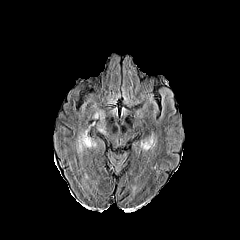
FLAIR MR.
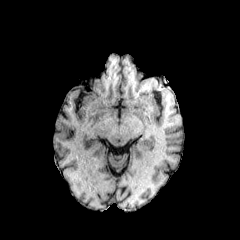
Same slice, T1-weighted MRI.
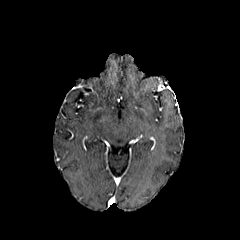
Post-contrast T1-weighted MRI.
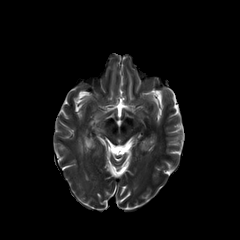
Same slice, T2-weighted MRI.
Axial view, Brain
peritumoral edema — l=78, t=130, r=95, b=151; l=140, t=142, r=150, b=150